FLAIR magnetic resonance.
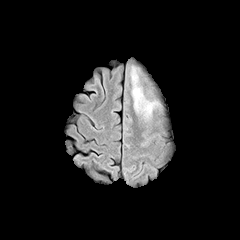
T1-weighted MRI.
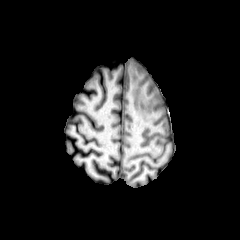
Post-contrast T1-weighted MR.
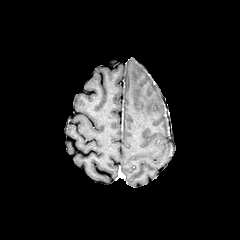
T2-weighted MR image.
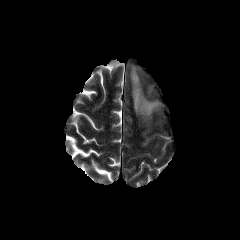
240x240 px
Findings:
- peritumoral edema: bbox(131, 67, 158, 121)